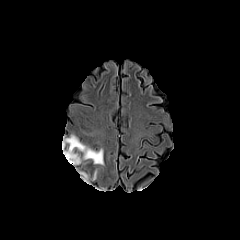
FLAIR MR image.
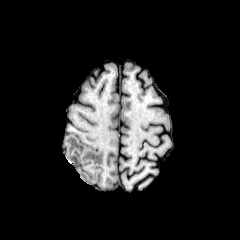
Same slice, T1-weighted MRI.
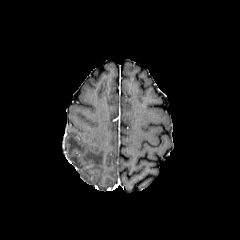
Same slice, post-contrast T1-weighted MR.
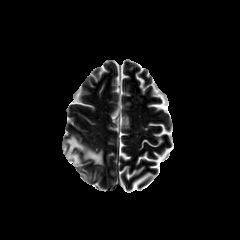
T2-weighted magnetic resonance of the same slice.
Axial plane; 240x240 px
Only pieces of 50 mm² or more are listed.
Segmented structures:
- peritumoral edema: x1=65, y1=135, x2=103, y2=165